FLAIR MR.
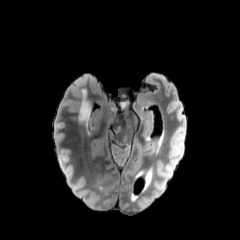
T1-weighted MR image.
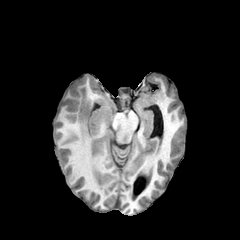
Post-contrast T1-weighted MRI.
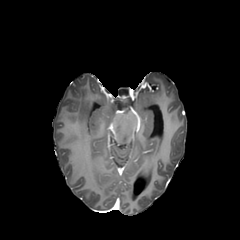
T2-weighted MR.
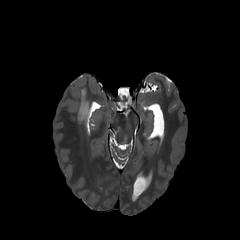
Axial plane. 240x240 px.
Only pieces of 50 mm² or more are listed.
The largest peritumoral edema region lies within 80 88 89 120.